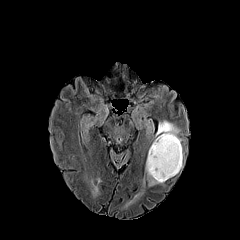
FLAIR MR.
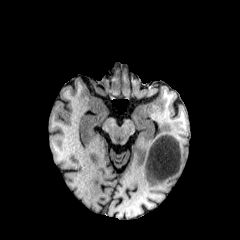
T1-weighted MR of the same slice.
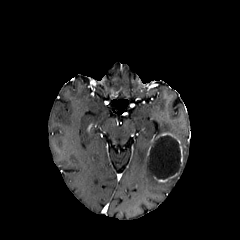
Post-contrast T1-weighted MRI.
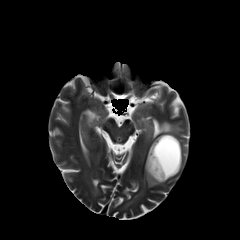
Same slice, T2-weighted MRI.
Axial plane. Head.
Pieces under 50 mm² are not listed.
2 peritumoral edema regions are bounded by (left=156, top=121, right=179, bottom=136), (left=145, top=158, right=161, bottom=186). The 2 largest enhancing tumor regions are located at (left=153, top=173, right=177, bottom=182), (left=160, top=133, right=182, bottom=165). The necrotic tumor core lies within (left=147, top=135, right=180, bottom=179).